Image width 240 mm, 1.00 mm slice spacing. Brain.
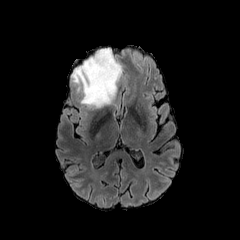
FLAIR magnetic resonance.
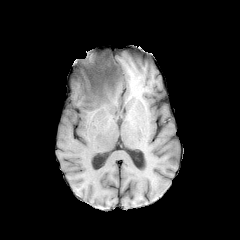
Same slice, T1-weighted MRI.
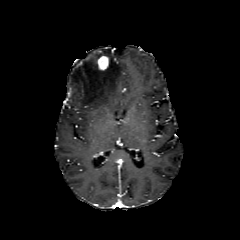
Post-contrast T1-weighted MR.
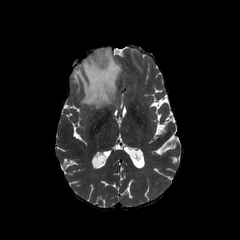
T2-weighted MRI of the same slice.
* enhancing tumor: box(96, 55, 109, 70)
* peritumoral edema: box(71, 48, 122, 108)